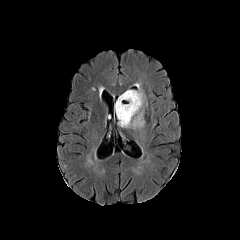
FLAIR MR image.
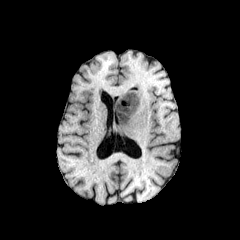
T1-weighted magnetic resonance.
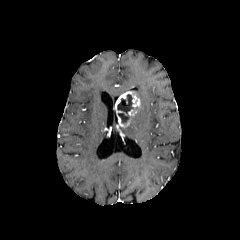
Same slice, post-contrast T1-weighted MRI.
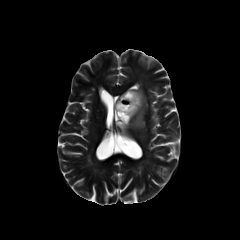
Same slice, T2-weighted magnetic resonance.
Head. Axial view.
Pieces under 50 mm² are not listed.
{"enhancing_tumor": ["114 91 140 127"], "necrotic_tumor_core": ["117 94 133 123"], "peritumoral_edema": ["126 83 145 128"]}